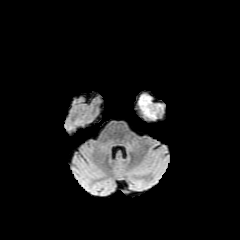
FLAIR MR image.
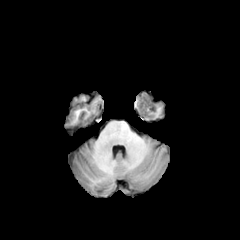
T1-weighted MR image.
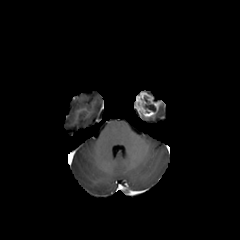
Post-contrast T1-weighted MRI.
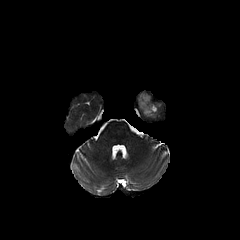
T2-weighted magnetic resonance of the same slice.
Axial view, Brain
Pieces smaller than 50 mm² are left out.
Findings:
* enhancing tumor: box=[136, 91, 160, 117]
* necrotic tumor core: box=[145, 104, 155, 111]